Slice 117 of 155; Brain
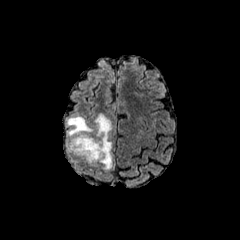
FLAIR MR image.
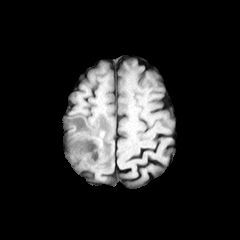
T1-weighted magnetic resonance.
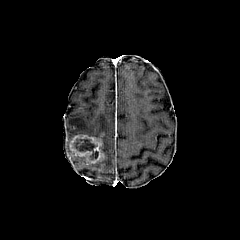
Post-contrast T1-weighted magnetic resonance of the same slice.
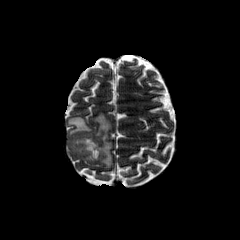
T2-weighted MRI of the same slice.
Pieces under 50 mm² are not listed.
- peritumoral edema: bbox(67, 116, 93, 137); bbox(94, 113, 112, 169)
- necrotic tumor core: bbox(89, 151, 98, 159); bbox(74, 138, 96, 151)
- enhancing tumor: bbox(69, 134, 105, 163)